240x240; Slice 92 of 155
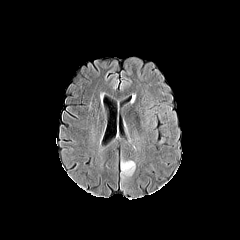
FLAIR MR image.
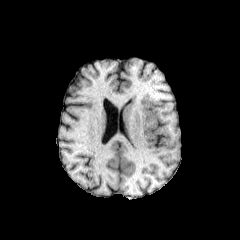
T1-weighted magnetic resonance of the same slice.
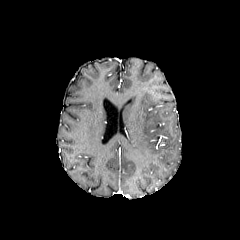
Same slice, post-contrast T1-weighted MR image.
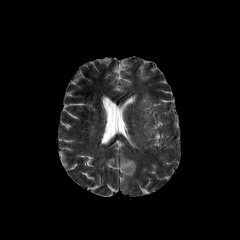
Same slice, T2-weighted MR.
peritumoral edema: bbox(121, 161, 135, 178)